Brain, Slice 89/155
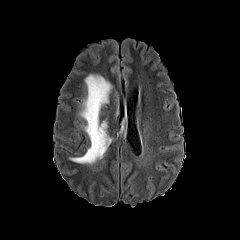
FLAIR magnetic resonance.
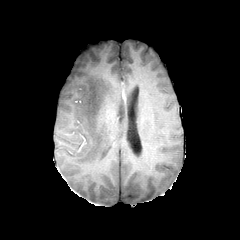
Same slice, T1-weighted MR.
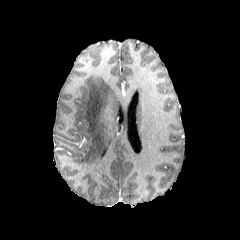
Post-contrast T1-weighted MR image.
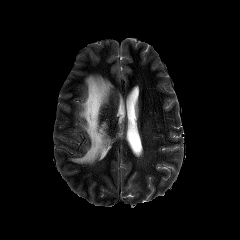
T2-weighted MRI.
Findings:
- peritumoral edema: box(70, 74, 111, 164)